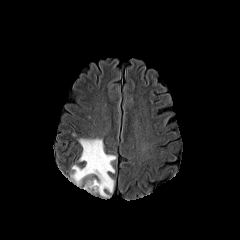
FLAIR magnetic resonance.
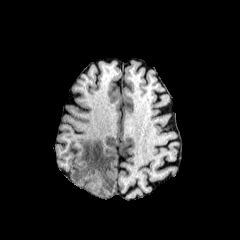
T1-weighted MRI.
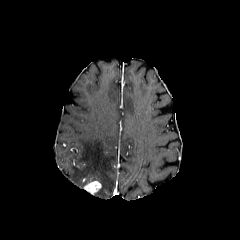
Post-contrast T1-weighted magnetic resonance.
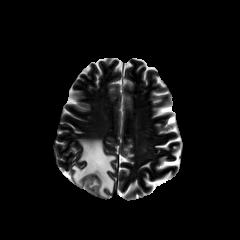
T2-weighted MR image.
Image size 240x240
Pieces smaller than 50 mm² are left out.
{"peritumoral_edema": ["<box>71,138,116,197</box>"], "enhancing_tumor": ["<box>83,179,101,194</box>"]}